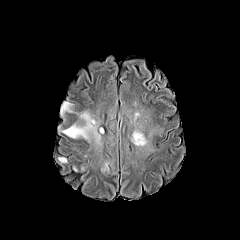
FLAIR MRI.
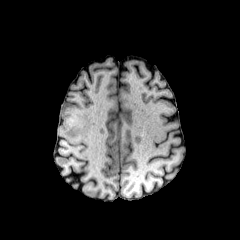
T1-weighted MRI.
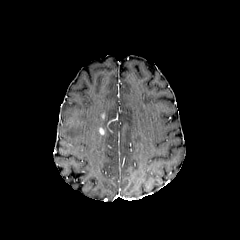
Post-contrast T1-weighted MR of the same slice.
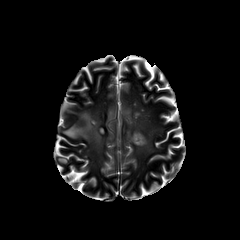
T2-weighted MRI.
240x240; Head
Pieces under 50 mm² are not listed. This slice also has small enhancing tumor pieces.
The 3 largest peritumoral edema regions are located at [61,102,71,114], [62,111,100,144], [132,130,147,146].